Axial slice; Image size 240x240; Image width 240 mm; Slice 124/155
FLAIR MR.
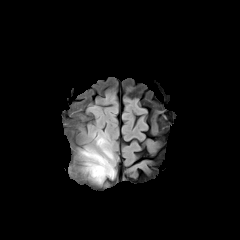
T1-weighted MRI.
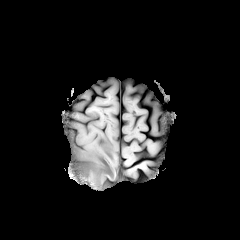
Post-contrast T1-weighted MRI.
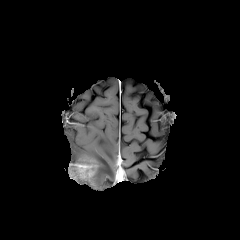
T2-weighted MRI.
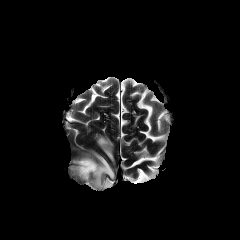
peritumoral edema = 96, 134, 113, 161; 82, 149, 114, 183
enhancing tumor = 75, 152, 107, 177